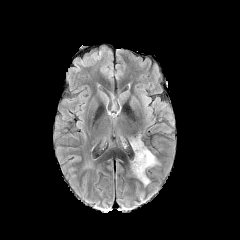
FLAIR MR image.
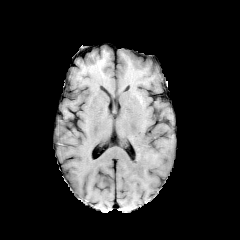
T1-weighted magnetic resonance of the same slice.
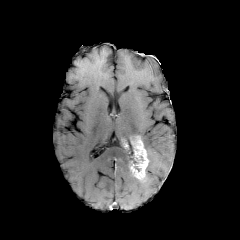
Post-contrast T1-weighted MRI.
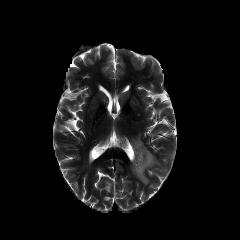
Same slice, T2-weighted MR image.
240x240 px | Brain | Axial plane
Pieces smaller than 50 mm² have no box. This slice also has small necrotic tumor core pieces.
enhancing tumor: box=[130, 136, 149, 180] | peritumoral edema: box=[145, 148, 158, 167]